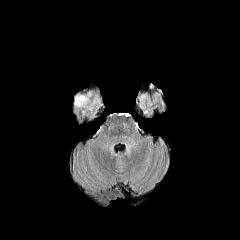
FLAIR magnetic resonance.
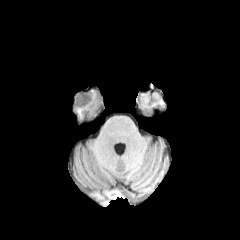
T1-weighted MR.
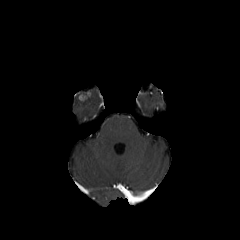
Post-contrast T1-weighted MRI.
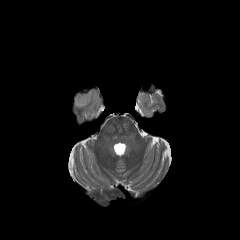
T2-weighted MR image of the same slice.
Head, Axial slice, Image size 240x240
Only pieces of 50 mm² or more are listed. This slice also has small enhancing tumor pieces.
<segmentation>
  <peritumoral_edema>left=73, top=88, right=97, bottom=106</peritumoral_edema>
</segmentation>